FLAIR MR.
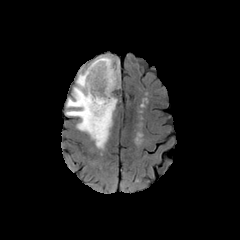
T1-weighted MR image.
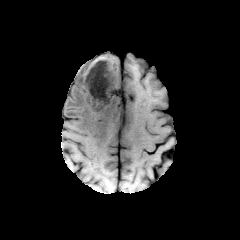
Post-contrast T1-weighted MR.
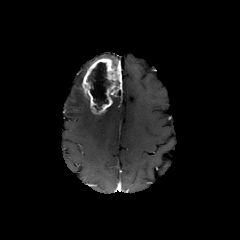
T2-weighted MR.
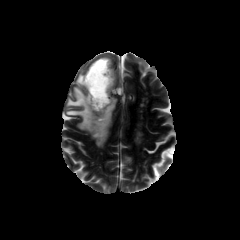
Image size 240x240
{
  "necrotic_tumor_core": [
    "bbox=[88, 62, 110, 110]"
  ],
  "enhancing_tumor": [
    "bbox=[82, 58, 121, 114]"
  ],
  "peritumoral_edema": [
    "bbox=[65, 54, 117, 149]"
  ]
}